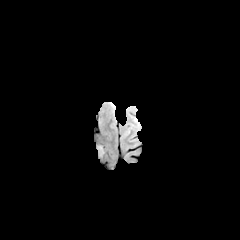
FLAIR MR.
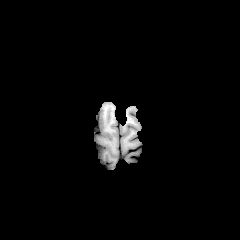
T1-weighted MR.
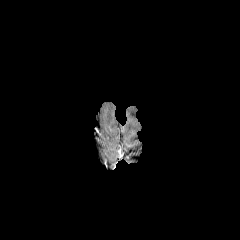
Post-contrast T1-weighted MR image of the same slice.
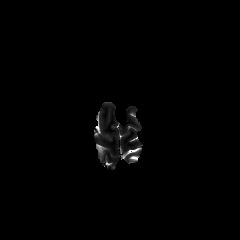
T2-weighted MR image.
peritumoral edema — <box>97,145,103,155</box>